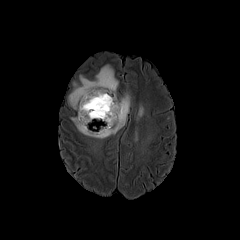
FLAIR magnetic resonance.
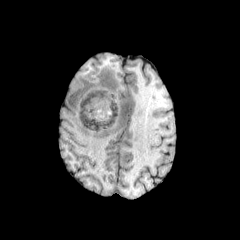
Same slice, T1-weighted MRI.
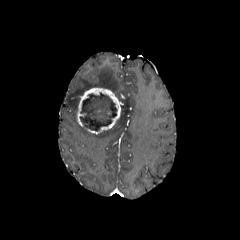
Post-contrast T1-weighted MR image.
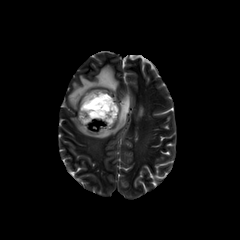
T2-weighted magnetic resonance.
240x240 px, Head
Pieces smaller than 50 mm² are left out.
{
  "peritumoral_edema": [
    "71:93:130:138",
    "137:106:143:118",
    "68:65:118:110"
  ],
  "necrotic_tumor_core": [
    "80:93:116:130"
  ],
  "enhancing_tumor": [
    "77:87:123:133"
  ]
}